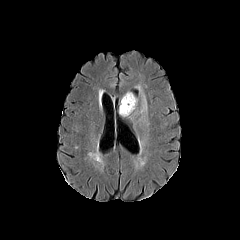
FLAIR MR.
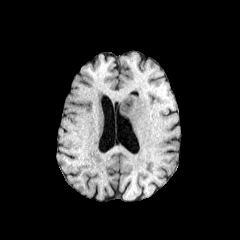
T1-weighted MRI.
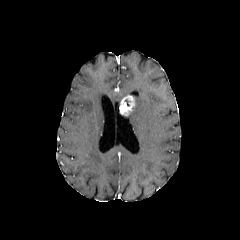
Post-contrast T1-weighted magnetic resonance of the same slice.
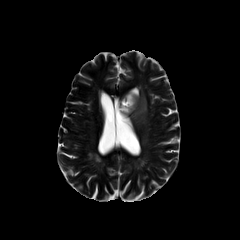
T2-weighted magnetic resonance.
240x240 px.
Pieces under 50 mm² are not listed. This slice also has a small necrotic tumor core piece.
The 2 largest peritumoral edema regions appear at (x1=140, y1=93, x2=147, y2=113), (x1=122, y1=92, x2=137, y2=110). The enhancing tumor is located at (x1=119, y1=95, x2=135, y2=115).